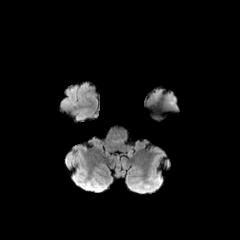
FLAIR MR image.
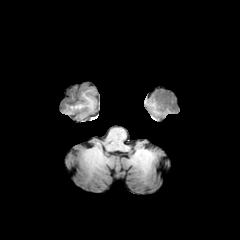
T1-weighted MRI of the same slice.
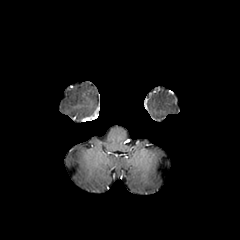
Post-contrast T1-weighted MR of the same slice.
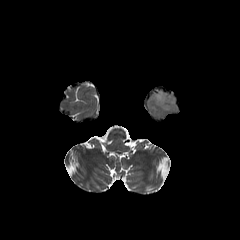
T2-weighted MR.
Annotated regions:
* peritumoral edema: 152, 90, 177, 109